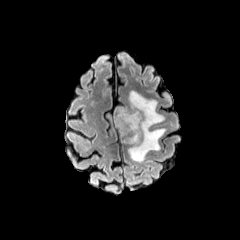
FLAIR MR.
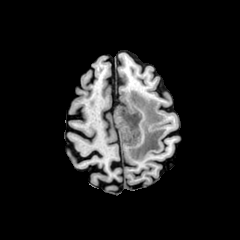
Same slice, T1-weighted MRI.
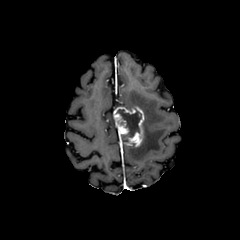
Post-contrast T1-weighted MRI of the same slice.
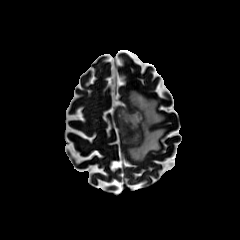
T2-weighted MRI.
Axial view | 240x240 px
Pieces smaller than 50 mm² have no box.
Segmented structures:
* necrotic tumor core: rect(117, 109, 141, 141)
* peritumoral edema: rect(126, 90, 165, 161)
* enhancing tumor: rect(114, 106, 144, 146)